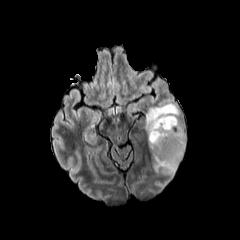
FLAIR MRI.
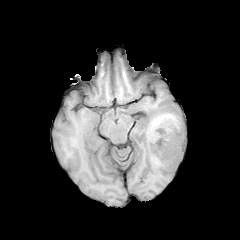
T1-weighted MR of the same slice.
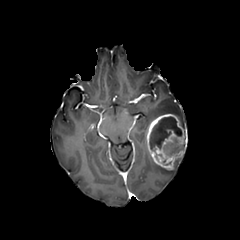
Same slice, post-contrast T1-weighted MRI.
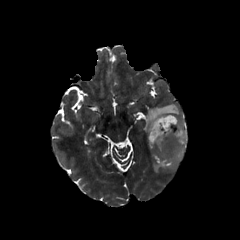
Same slice, T2-weighted MR image.
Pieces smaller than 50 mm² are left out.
Segmented structures:
• enhancing tumor: 146 114 187 169
• necrotic tumor core: 150 116 182 149
• peritumoral edema: 145 103 184 130, 153 158 181 174